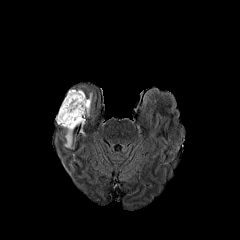
FLAIR MRI.
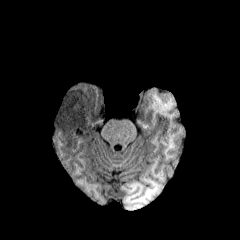
Same slice, T1-weighted MRI.
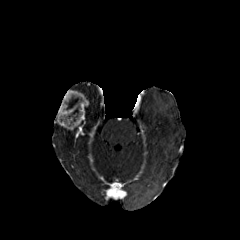
Same slice, post-contrast T1-weighted MR image.
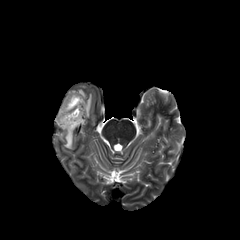
T2-weighted MR.
Brain.
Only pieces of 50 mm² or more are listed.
The enhancing tumor is bounded by l=56, t=90, r=89, b=130. The largest necrotic tumor core region lies within l=66, t=96, r=78, b=109. The 2 largest peritumoral edema regions appear at l=86, t=93, r=92, b=116; l=64, t=130, r=73, b=148.